Brain. Axial plane. Slice 117/155.
FLAIR MRI.
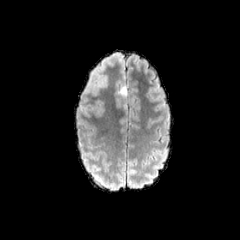
T1-weighted magnetic resonance.
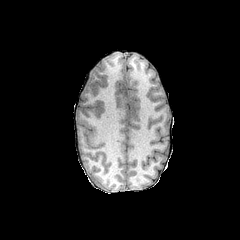
Post-contrast T1-weighted MRI.
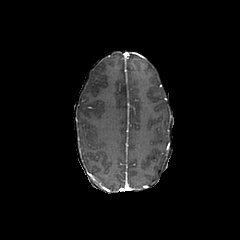
T2-weighted MRI.
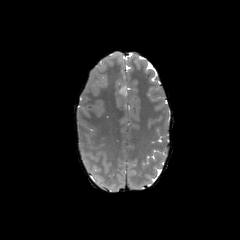
peritumoral edema: bounding box (116,85,129,123)